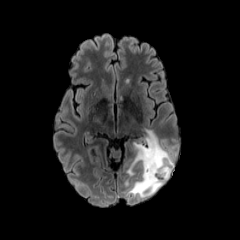
FLAIR MRI.
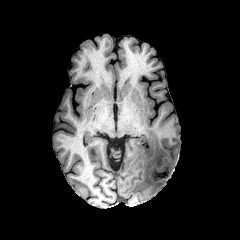
T1-weighted magnetic resonance.
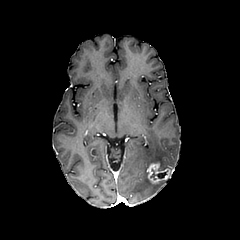
Post-contrast T1-weighted magnetic resonance.
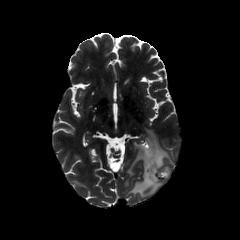
T2-weighted MR image.
Axial plane.
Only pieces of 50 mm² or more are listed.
necrotic tumor core: <bbox>151, 169, 167, 178</bbox> | peritumoral edema: <bbox>127, 129, 176, 197</bbox> | enhancing tumor: <bbox>147, 162, 172, 183</bbox>